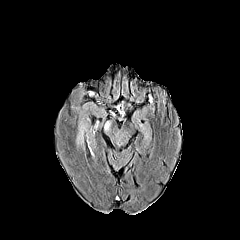
FLAIR MRI.
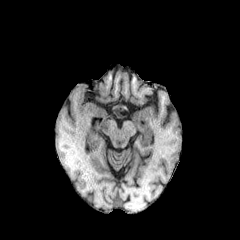
T1-weighted magnetic resonance of the same slice.
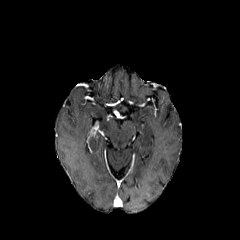
Post-contrast T1-weighted MR image of the same slice.
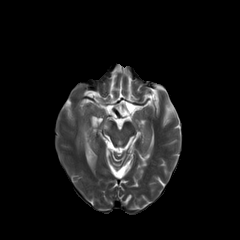
T2-weighted MRI of the same slice.
Axial plane.
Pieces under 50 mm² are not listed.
The largest peritumoral edema region lies within (x1=77, y1=124, x2=87, y2=144).